FLAIR MR image.
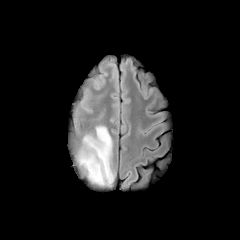
T1-weighted MR.
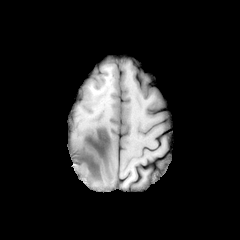
Post-contrast T1-weighted magnetic resonance.
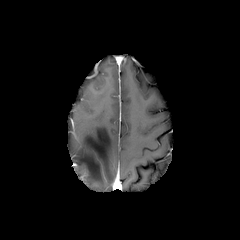
T2-weighted magnetic resonance.
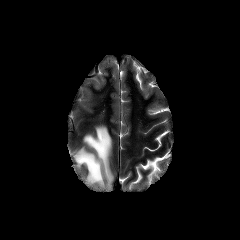
Head | 240x240 px
Segmented structures:
* peritumoral edema: [76,126,114,185]